240x240 px
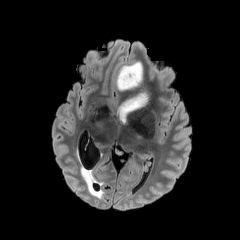
FLAIR MRI.
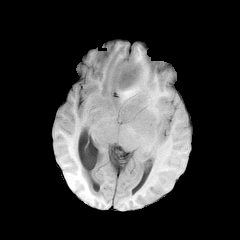
Same slice, T1-weighted MR image.
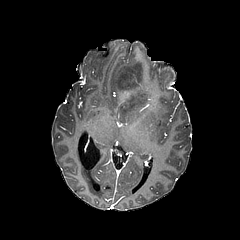
Post-contrast T1-weighted magnetic resonance of the same slice.
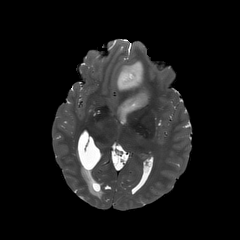
Same slice, T2-weighted MR image.
<segmentation>
  <necrotic_tumor_core>(left=120, top=67, right=140, bottom=87)</necrotic_tumor_core>
  <peritumoral_edema>(left=116, top=60, right=148, bottom=121)</peritumoral_edema>
</segmentation>